Slice 90 of 155; Image width 240 mm, 1.00 mm slice spacing; 240x240
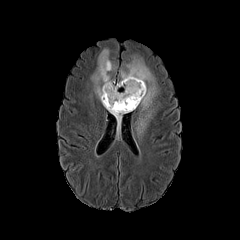
FLAIR MR image.
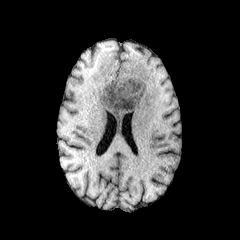
Same slice, T1-weighted magnetic resonance.
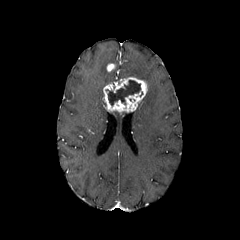
Post-contrast T1-weighted magnetic resonance.
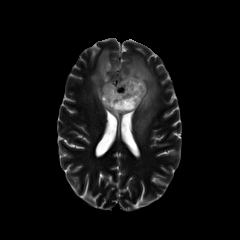
T2-weighted MR image.
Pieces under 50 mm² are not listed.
necrotic tumor core: [108,80,140,105] | peritumoral edema: [120,57,157,136], [112,112,125,129], [91,49,114,106] | enhancing tumor: [106,63,115,71], [103,77,147,113]